FLAIR MR image.
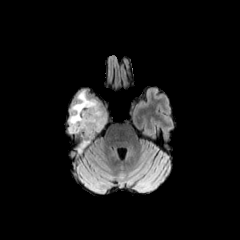
T1-weighted MR.
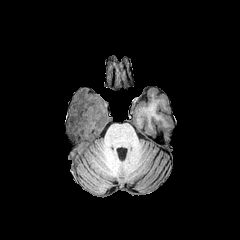
Post-contrast T1-weighted MR image.
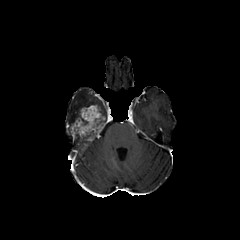
T2-weighted MR.
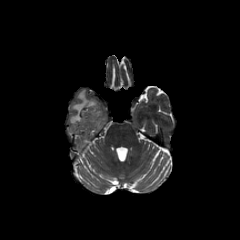
Axial slice
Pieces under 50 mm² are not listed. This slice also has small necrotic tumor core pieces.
Segmented structures:
• enhancing tumor: (70,104,105,154)
• peritumoral edema: (68,89,105,132)